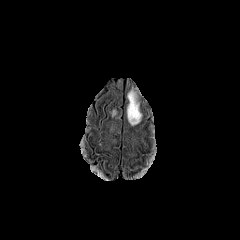
FLAIR magnetic resonance.
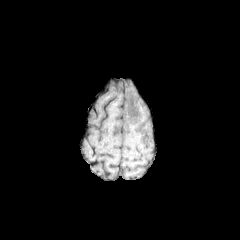
T1-weighted magnetic resonance of the same slice.
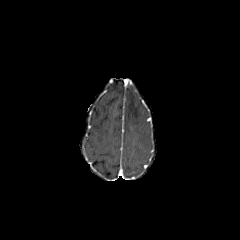
Post-contrast T1-weighted MRI of the same slice.
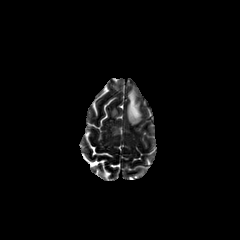
T2-weighted magnetic resonance.
Brain.
The peritumoral edema is at box=[127, 87, 141, 125].